FLAIR magnetic resonance.
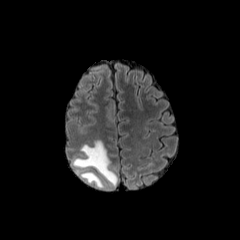
T1-weighted MRI.
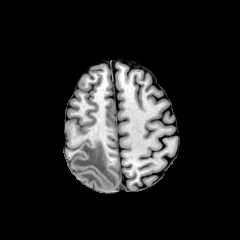
Post-contrast T1-weighted MRI.
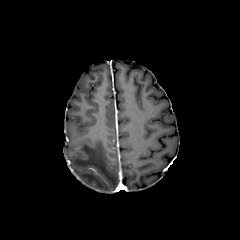
T2-weighted MR.
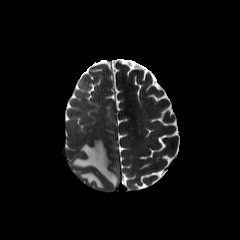
Head | Axial plane
2 peritumoral edema regions are located at 73:140:117:187, 79:171:107:188.